FLAIR magnetic resonance.
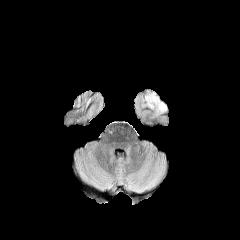
T1-weighted MRI.
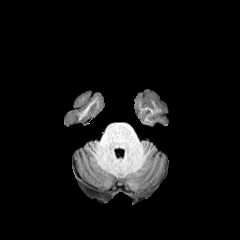
Post-contrast T1-weighted MR.
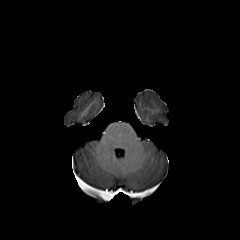
T2-weighted MR image.
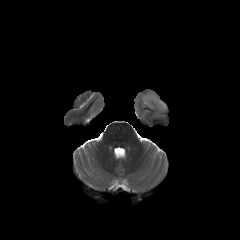
240x240 px.
peritumoral_edema:
  - (153, 96, 166, 110)